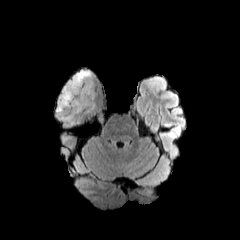
FLAIR MRI.
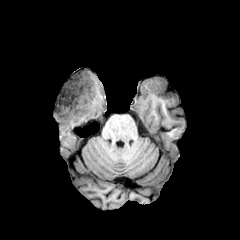
T1-weighted MR image of the same slice.
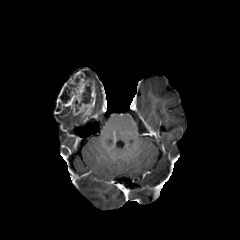
Post-contrast T1-weighted MRI.
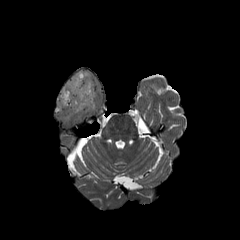
T2-weighted MR of the same slice.
240x240. Axial slice.
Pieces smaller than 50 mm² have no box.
The 2 largest necrotic tumor core regions appear at 75:82:92:106, 60:84:76:102. The enhancing tumor is at 55:70:96:119. 2 peritumoral edema regions appear at 82:70:92:79, 57:107:74:121.